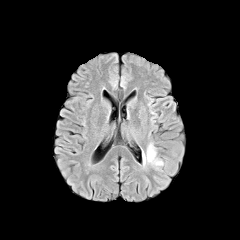
FLAIR MR.
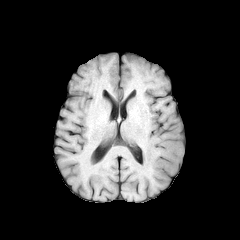
T1-weighted magnetic resonance.
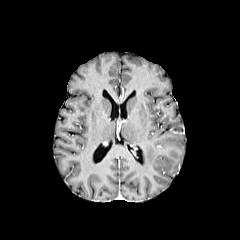
Post-contrast T1-weighted MRI of the same slice.
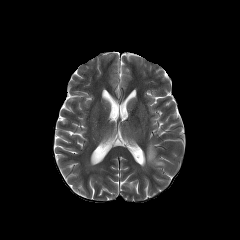
T2-weighted magnetic resonance.
240x240 px, Axial view
peritumoral edema: bounding box (143, 144, 163, 165)